Head
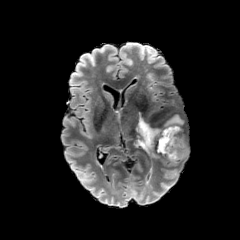
FLAIR MRI.
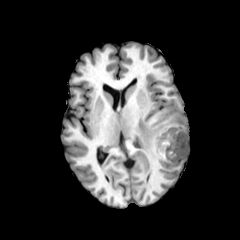
T1-weighted MRI of the same slice.
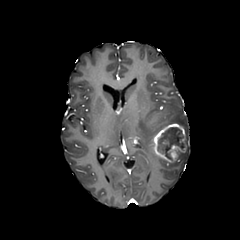
Post-contrast T1-weighted MRI.
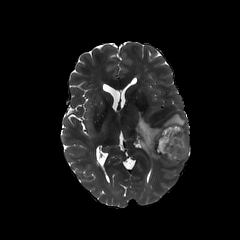
T2-weighted MR.
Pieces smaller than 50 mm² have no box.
The enhancing tumor lies within [x1=152, y1=123, x2=186, y2=163]. The 3 largest peritumoral edema regions appear at [x1=179, y1=134, x2=189, y2=160], [x1=163, y1=114, x2=184, y2=127], [x1=133, y1=112, x2=162, y2=159]. The necrotic tumor core lies within [x1=158, y1=127, x2=184, y2=159].